FLAIR MR.
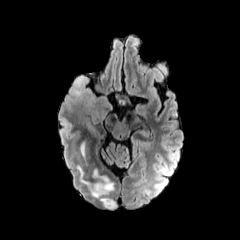
T1-weighted MR.
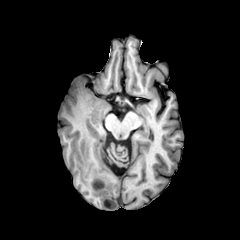
Post-contrast T1-weighted MR.
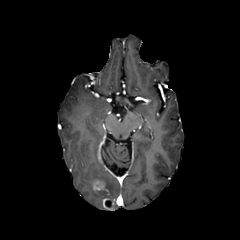
T2-weighted MR.
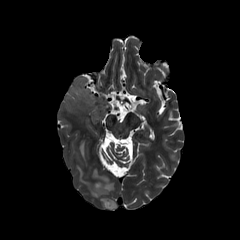
Brain
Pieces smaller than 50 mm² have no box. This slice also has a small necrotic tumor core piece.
peritumoral edema: bounding box [x1=70, y1=75, x2=94, y2=106], [x1=90, y1=170, x2=113, y2=197]
enhancing tumor: bounding box [x1=92, y1=179, x2=105, y2=191], [x1=102, y1=198, x2=114, y2=208]